240x240; Brain; Axial slice; Image width 240 mm, 1.00 mm slice spacing
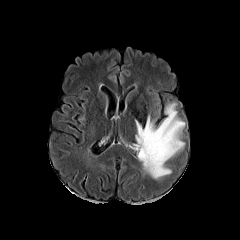
FLAIR MR image.
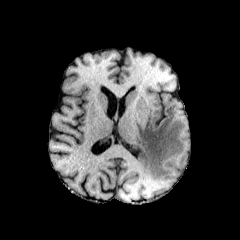
T1-weighted magnetic resonance of the same slice.
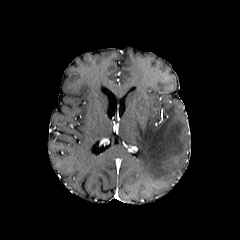
Post-contrast T1-weighted MRI of the same slice.
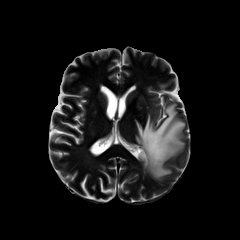
T2-weighted MRI of the same slice.
peritumoral edema: box(132, 102, 186, 179)